FLAIR MRI.
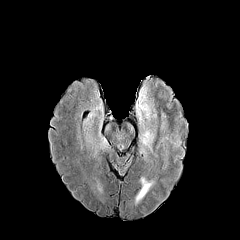
T1-weighted MR image.
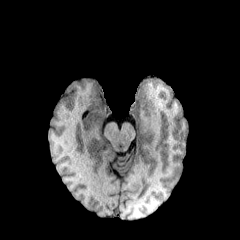
Post-contrast T1-weighted magnetic resonance.
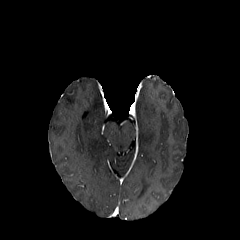
T2-weighted magnetic resonance.
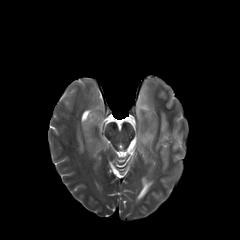
Axial view
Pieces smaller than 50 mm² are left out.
{"peritumoral_edema": ["box(140, 128, 154, 150)", "box(82, 111, 93, 141)", "box(136, 84, 155, 124)"]}